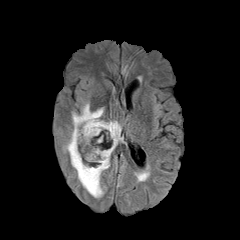
FLAIR MR.
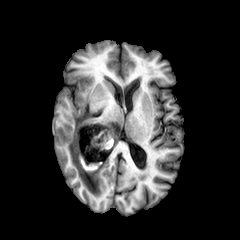
T1-weighted magnetic resonance.
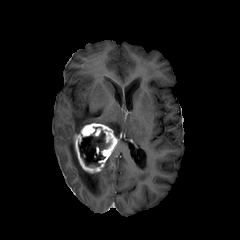
Post-contrast T1-weighted MR.
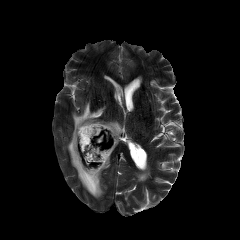
Same slice, T2-weighted MRI.
Brain
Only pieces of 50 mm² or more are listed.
The largest enhancing tumor region is bounded by (x1=74, y1=123, x2=119, y2=173). The largest necrotic tumor core region lies within (x1=78, y1=131, x2=110, y2=166). The largest peritumoral edema region is at (x1=63, y1=102, x2=122, y2=198).